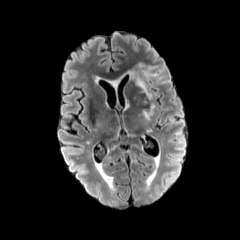
FLAIR MR.
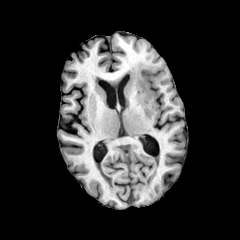
T1-weighted magnetic resonance.
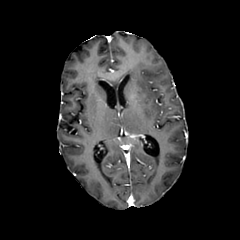
Post-contrast T1-weighted MR.
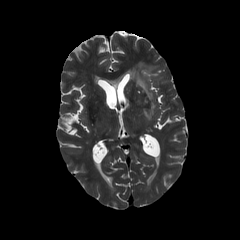
T2-weighted MR image.
Axial plane; Head
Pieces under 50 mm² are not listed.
peritumoral edema: bounding box bbox(143, 104, 155, 119); bbox(127, 66, 162, 99)